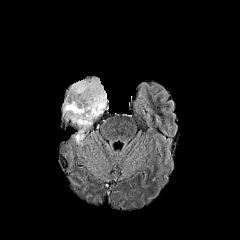
FLAIR MR image.
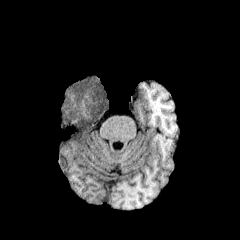
T1-weighted MR image of the same slice.
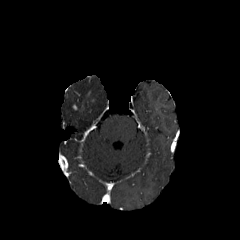
Post-contrast T1-weighted MRI.
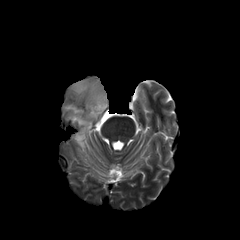
T2-weighted MR.
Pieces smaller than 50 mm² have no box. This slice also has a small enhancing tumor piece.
• peritumoral edema: box(63, 78, 106, 141)